Axial slice; Brain
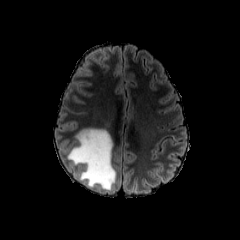
FLAIR MR.
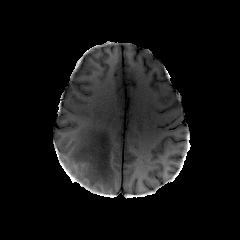
T1-weighted MR image of the same slice.
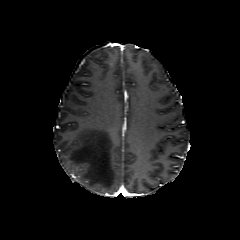
Post-contrast T1-weighted MR image of the same slice.
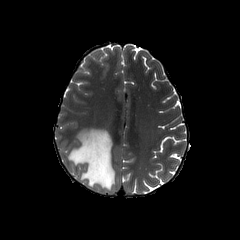
T2-weighted MR of the same slice.
The peritumoral edema is located at box(67, 128, 116, 190).